FLAIR magnetic resonance.
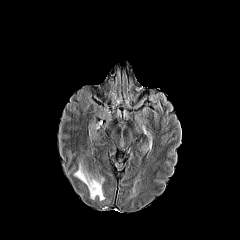
T1-weighted MRI.
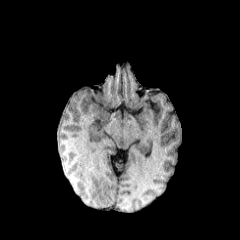
Post-contrast T1-weighted MR.
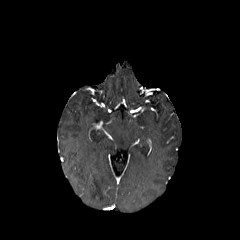
T2-weighted magnetic resonance.
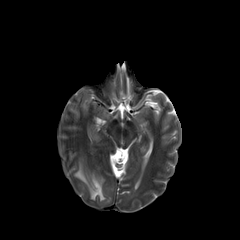
Axial slice, Image size 240x240
peritumoral edema at (x1=74, y1=163, x2=104, y2=200)